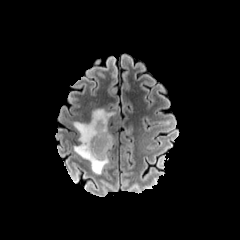
FLAIR magnetic resonance.
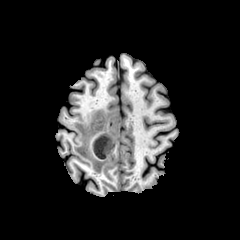
Same slice, T1-weighted magnetic resonance.
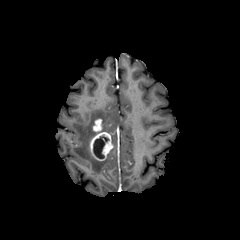
Post-contrast T1-weighted MR image.
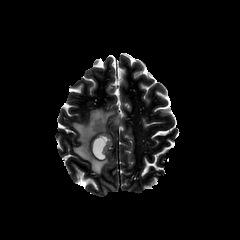
T2-weighted MR.
Brain.
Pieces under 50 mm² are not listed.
The necrotic tumor core is located at (93, 135, 108, 158). 2 enhancing tumor regions are located at (90, 132, 113, 160), (93, 119, 102, 131). The largest peritumoral edema region is at (73, 109, 115, 174).